FLAIR MRI.
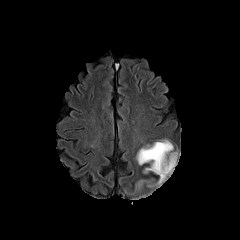
T1-weighted magnetic resonance.
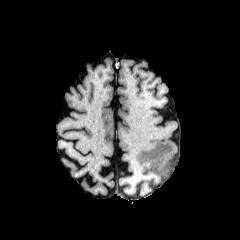
Post-contrast T1-weighted magnetic resonance.
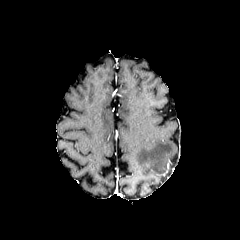
T2-weighted MRI.
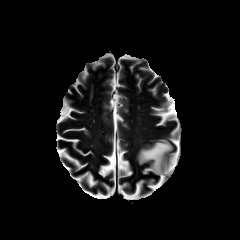
Head | Image size 240x240
The peritumoral edema is at <bbox>136, 139, 177, 184</bbox>.